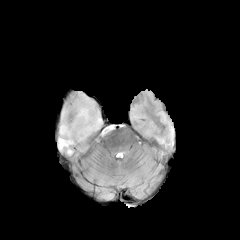
FLAIR magnetic resonance.
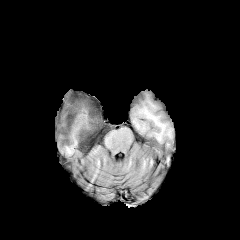
T1-weighted magnetic resonance.
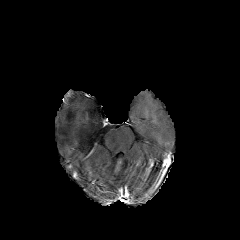
Same slice, post-contrast T1-weighted MR.
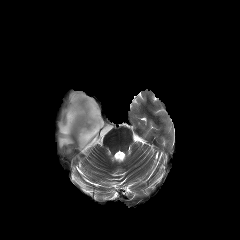
Same slice, T2-weighted MR image.
Brain.
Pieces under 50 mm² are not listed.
peritumoral_edema:
  - x1=58 y1=92 x2=114 y2=155